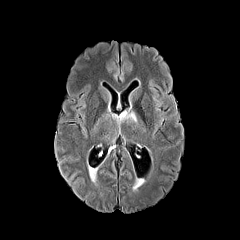
FLAIR MR image.
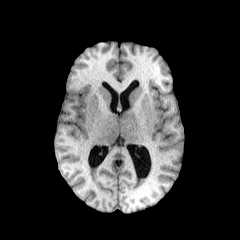
T1-weighted MR image of the same slice.
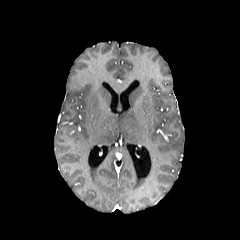
Post-contrast T1-weighted MR of the same slice.
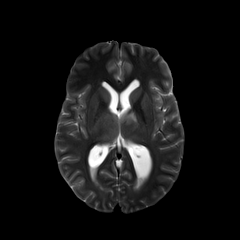
Same slice, T2-weighted MRI.
Head
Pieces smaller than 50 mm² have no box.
The largest peritumoral edema region is located at left=112, top=111, right=136, bottom=132.